Axial view, Slice 116/155, Brain
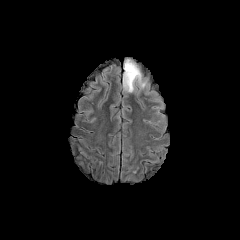
FLAIR magnetic resonance.
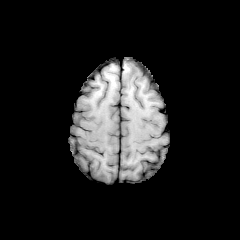
T1-weighted MRI.
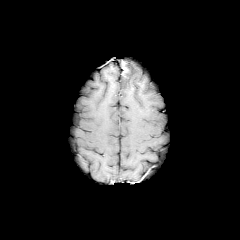
Post-contrast T1-weighted MR.
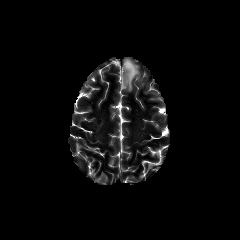
T2-weighted magnetic resonance.
The peritumoral edema is located at (123, 58, 145, 92).